Slice 59/155
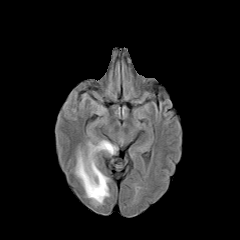
FLAIR MR image.
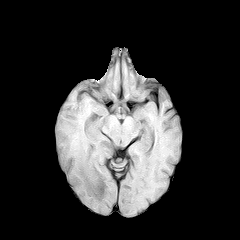
T1-weighted magnetic resonance.
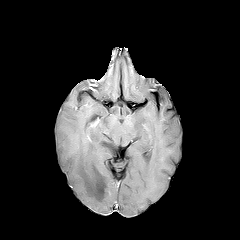
Post-contrast T1-weighted MR image.
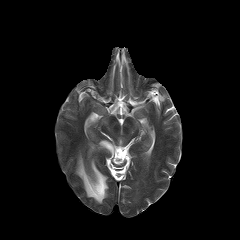
Same slice, T2-weighted magnetic resonance.
peritumoral edema = l=75, t=140, r=116, b=203